FLAIR magnetic resonance.
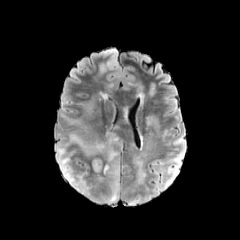
T1-weighted MRI.
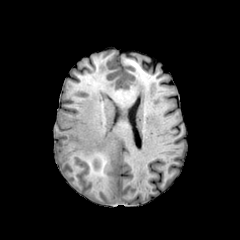
Post-contrast T1-weighted MR image.
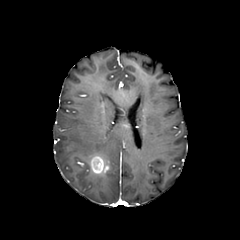
T2-weighted magnetic resonance.
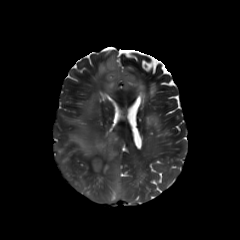
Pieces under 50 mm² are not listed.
The enhancing tumor lies within [x1=91, y1=156, x2=108, y2=173]. The 5 largest peritumoral edema regions are bounded by [x1=107, y1=163, x2=119, y2=202], [x1=71, y1=119, x2=82, y2=125], [x1=57, y1=147, x2=73, y2=181], [x1=85, y1=103, x2=92, y2=113], [x1=69, y1=133, x2=118, y2=161].